FLAIR MR image.
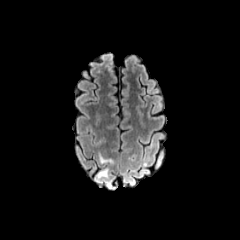
T1-weighted MR image.
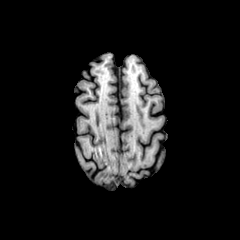
Post-contrast T1-weighted MR.
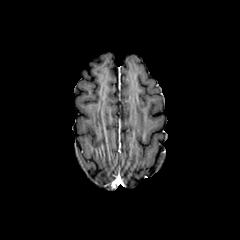
T2-weighted MRI.
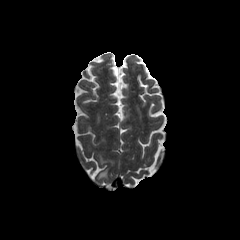
Brain
2 peritumoral edema regions appear at 97, 169, 108, 180; 99, 155, 112, 163.